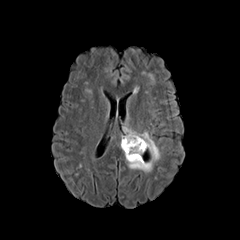
FLAIR MR.
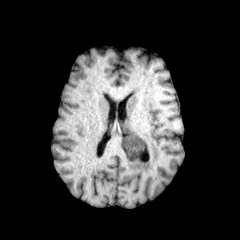
T1-weighted magnetic resonance.
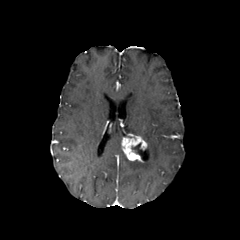
Post-contrast T1-weighted magnetic resonance of the same slice.
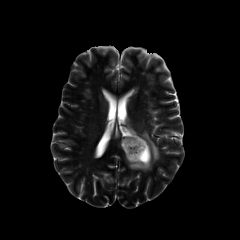
Same slice, T2-weighted MR.
Head, Axial view
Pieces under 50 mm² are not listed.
Annotated regions:
• enhancing tumor: box=[121, 135, 147, 162]
• peritumoral edema: box=[125, 129, 159, 172]
• necrotic tumor core: box=[131, 143, 143, 154]